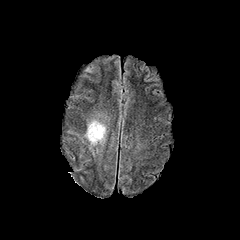
FLAIR MR.
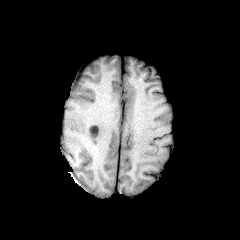
T1-weighted MR image of the same slice.
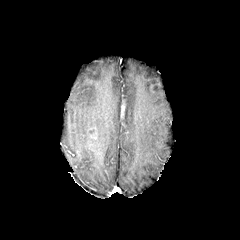
Post-contrast T1-weighted MR.
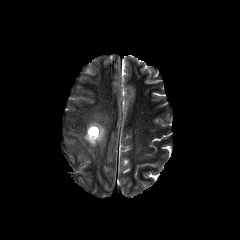
T2-weighted MRI.
240x240
<segmentation>
  <peritumoral_edema>86:121:105:144</peritumoral_edema>
  <enhancing_tumor>91:127:96:138</enhancing_tumor>
</segmentation>